Image size 240x240, Head, Axial view, Slice index 91
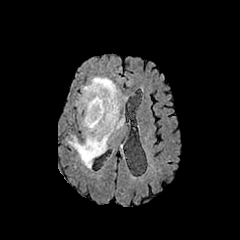
FLAIR MR image.
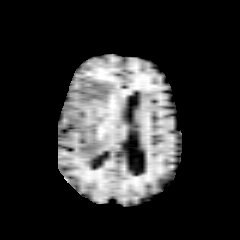
T1-weighted MRI of the same slice.
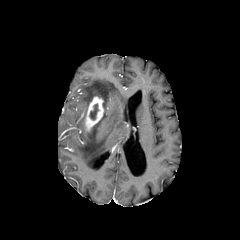
Post-contrast T1-weighted MR of the same slice.
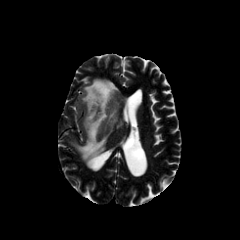
T2-weighted MR image of the same slice.
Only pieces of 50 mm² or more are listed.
The enhancing tumor lies within x1=85 y1=96 x2=103 y2=130. The necrotic tumor core is located at x1=90 y1=103 x2=98 y2=120. The largest peritumoral edema region lies within x1=68 y1=77 x2=126 y2=167.